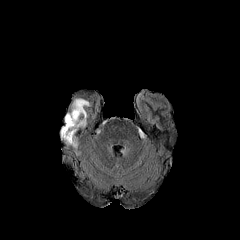
FLAIR magnetic resonance.
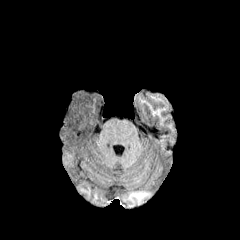
Same slice, T1-weighted magnetic resonance.
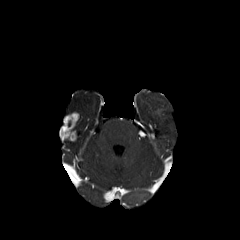
Post-contrast T1-weighted magnetic resonance.
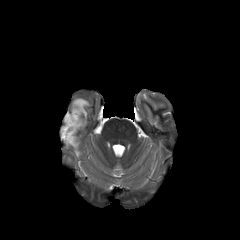
T2-weighted magnetic resonance.
Image size 240x240
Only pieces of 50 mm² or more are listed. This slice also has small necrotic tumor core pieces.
peritumoral_edema:
  - rect(65, 140, 78, 149)
  - rect(71, 98, 90, 129)
enhancing_tumor:
  - rect(59, 112, 79, 141)